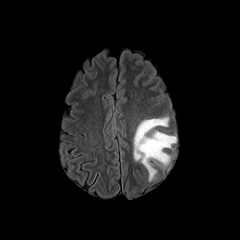
FLAIR MRI.
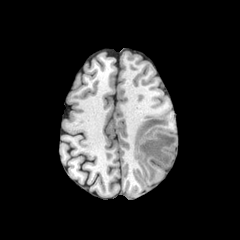
Same slice, T1-weighted MR image.
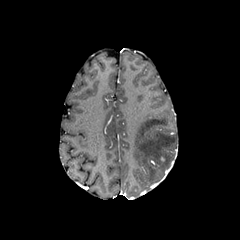
Post-contrast T1-weighted MR image.
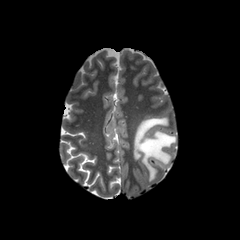
T2-weighted magnetic resonance.
Brain; Axial slice; 240x240 px
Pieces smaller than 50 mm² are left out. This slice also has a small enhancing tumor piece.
peritumoral edema at (x1=133, y1=117, x2=176, y2=181)